Image width 240 mm, Axial view
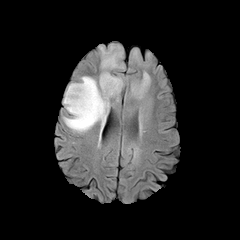
FLAIR MRI.
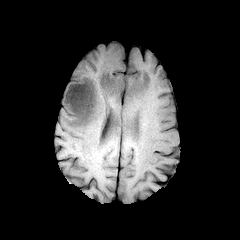
T1-weighted MRI.
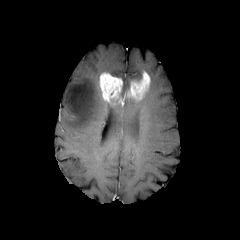
Post-contrast T1-weighted MR image.
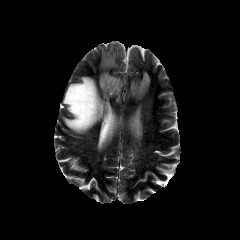
T2-weighted MR image.
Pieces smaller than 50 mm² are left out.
peritumoral edema: {"x1": 99, "y1": 44, "x2": 122, "y2": 72}, {"x1": 63, "y1": 76, "x2": 110, "y2": 133} | enhancing tumor: {"x1": 99, "y1": 72, "x2": 122, "y2": 102}, {"x1": 125, "y1": 72, "x2": 150, "y2": 99}